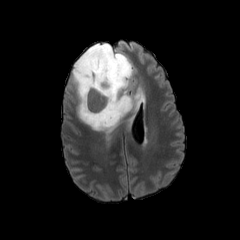
FLAIR magnetic resonance.
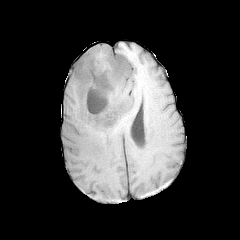
T1-weighted MRI.
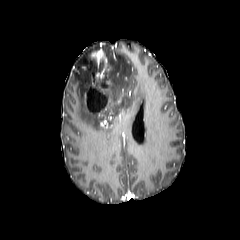
Post-contrast T1-weighted magnetic resonance.
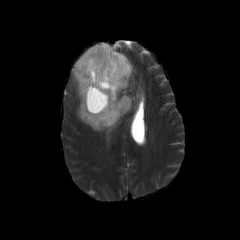
T2-weighted MR.
240x240 px | Brain
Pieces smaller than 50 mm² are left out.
Annotated regions:
- necrotic tumor core: {"x1": 87, "y1": 87, "x2": 107, "y2": 112}
- enhancing tumor: {"x1": 100, "y1": 116, "x2": 112, "y2": 127}, {"x1": 108, "y1": 110, "x2": 123, "y2": 122}, {"x1": 90, "y1": 48, "x2": 113, "y2": 96}
- peritumoral edema: {"x1": 69, "y1": 43, "x2": 142, "y2": 134}